FLAIR magnetic resonance.
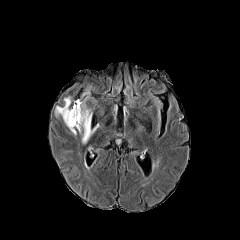
T1-weighted magnetic resonance.
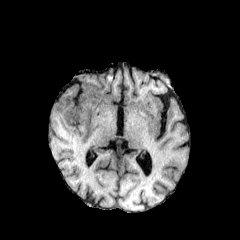
Post-contrast T1-weighted MRI.
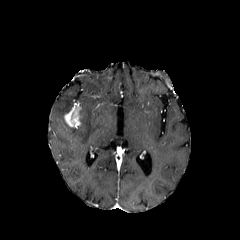
T2-weighted MR.
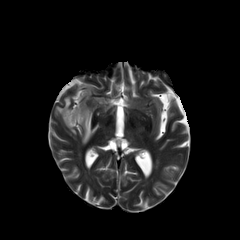
Axial view
2 peritumoral edema regions appear at x1=55 y1=97 x2=76 y2=135, x1=77 y1=87 x2=98 y2=143. The enhancing tumor lies within x1=65 y1=102 x2=81 y2=128.